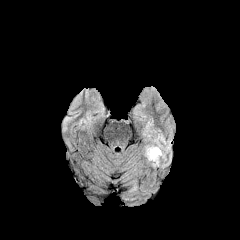
FLAIR MRI.
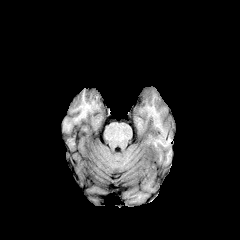
Same slice, T1-weighted MR.
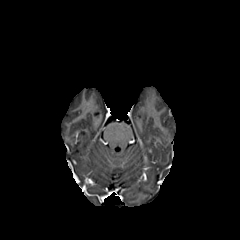
Post-contrast T1-weighted magnetic resonance.
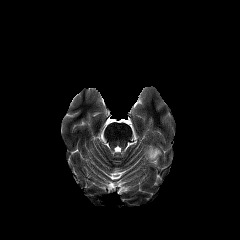
T2-weighted magnetic resonance of the same slice.
Axial slice | Image size 240x240
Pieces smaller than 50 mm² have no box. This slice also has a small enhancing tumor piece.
<segmentation>
  <peritumoral_edema>x1=145 y1=144 x2=163 y2=165</peritumoral_edema>
</segmentation>